Axial slice; Slice 81 of 155; Head
FLAIR magnetic resonance.
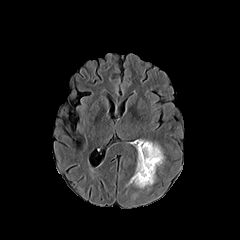
T1-weighted magnetic resonance.
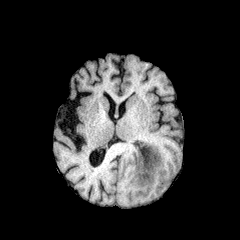
Post-contrast T1-weighted MR image.
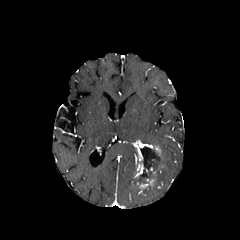
T2-weighted magnetic resonance.
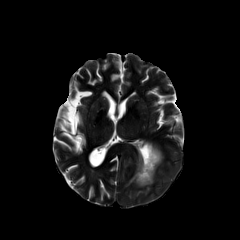
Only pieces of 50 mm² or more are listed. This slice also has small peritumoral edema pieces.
Segmented structures:
- necrotic tumor core: (left=136, top=146, right=161, bottom=183)
- enhancing tumor: (left=134, top=140, right=161, bottom=178), (left=137, top=178, right=154, bottom=188)